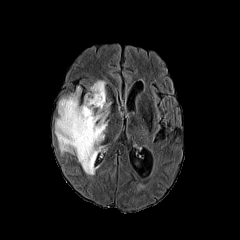
FLAIR MR.
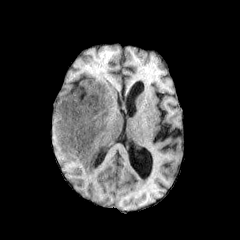
T1-weighted MRI of the same slice.
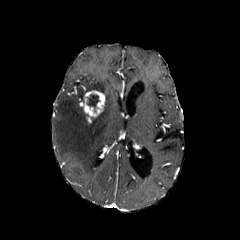
Post-contrast T1-weighted MR.
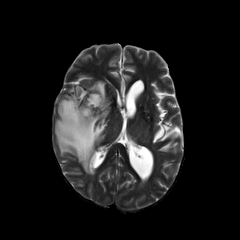
T2-weighted MRI.
Axial plane | 240x240
necrotic tumor core at left=87, top=94, right=98, bottom=110
peritumoral edema at left=55, top=87, right=110, bottom=175; left=89, top=80, right=106, bottom=97
enhancing tumor at left=82, top=90, right=105, bottom=123